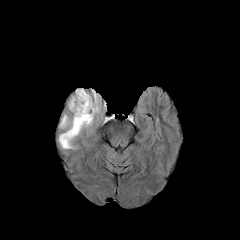
FLAIR MR.
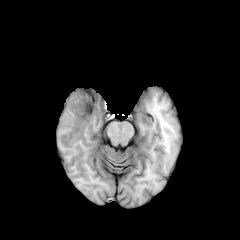
T1-weighted MRI.
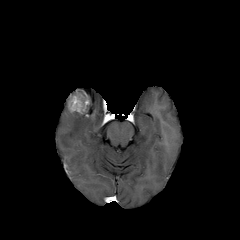
Post-contrast T1-weighted MR of the same slice.
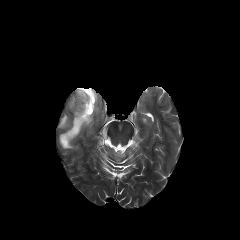
T2-weighted MR.
240x240, Axial plane
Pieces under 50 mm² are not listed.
peritumoral edema: bounding box box=[59, 88, 101, 149]
enhancing tumor: bounding box box=[68, 89, 94, 117]